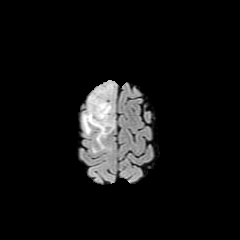
FLAIR MRI.
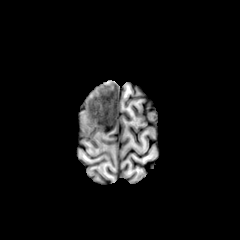
Same slice, T1-weighted MR image.
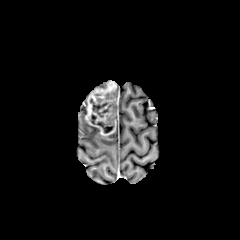
Post-contrast T1-weighted MR of the same slice.
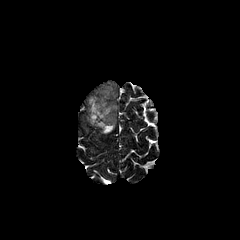
T2-weighted MR image of the same slice.
Axial plane. 240x240.
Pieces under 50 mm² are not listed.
enhancing tumor: 85, 81, 117, 135 | peritumoral edema: 95, 129, 107, 149; 82, 110, 94, 135 | necrotic tumor core: 91, 115, 113, 132; 90, 99, 107, 116